Axial plane
FLAIR magnetic resonance.
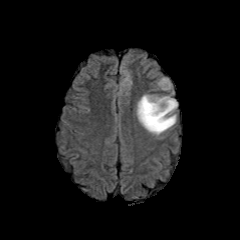
T1-weighted MRI.
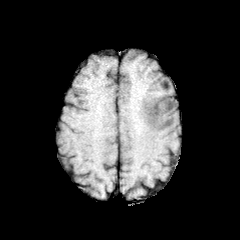
Post-contrast T1-weighted MRI.
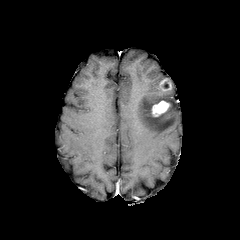
T2-weighted MRI.
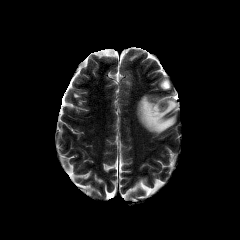
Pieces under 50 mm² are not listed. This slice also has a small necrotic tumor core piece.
enhancing tumor at (159,78,171,90), (151,100,170,116)
peritumoral edema at (137,95,177,135)